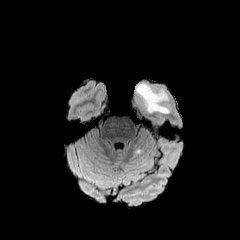
FLAIR MR.
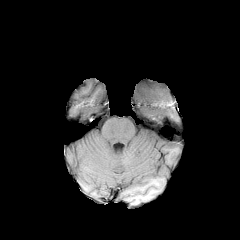
T1-weighted MRI.
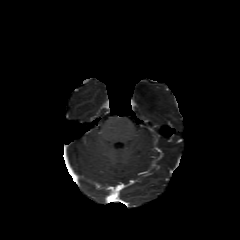
Post-contrast T1-weighted MRI.
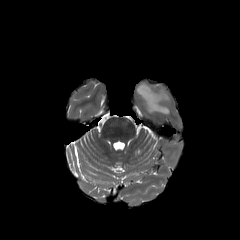
Same slice, T2-weighted magnetic resonance.
Brain
The peritumoral edema is bounded by <bbox>133, 82, 170, 114</bbox>.